Slice 46 of 155.
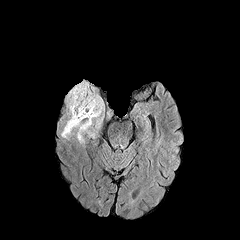
FLAIR magnetic resonance.
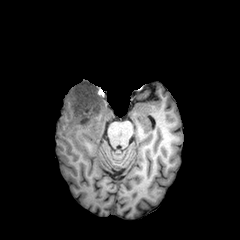
T1-weighted MRI.
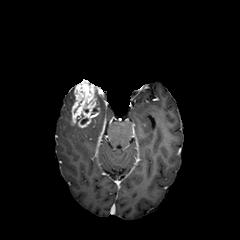
Post-contrast T1-weighted magnetic resonance.
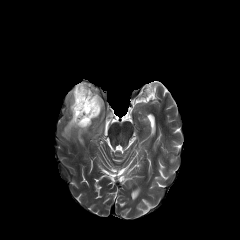
T2-weighted MR.
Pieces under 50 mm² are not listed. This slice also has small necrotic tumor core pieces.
<segmentation>
  <peritumoral_edema>[61,87,104,143]</peritumoral_edema>
  <enhancing_tumor>[71,80,100,128]</enhancing_tumor>
</segmentation>